Slice index 65; Brain; 240x240; Axial slice
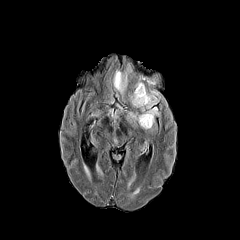
FLAIR MR image.
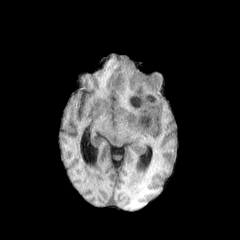
T1-weighted MR.
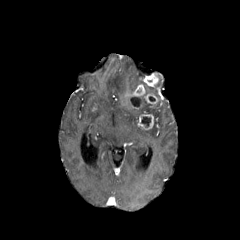
Post-contrast T1-weighted MR of the same slice.
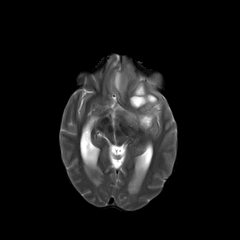
T2-weighted MRI of the same slice.
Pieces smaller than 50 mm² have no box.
The 4 largest enhancing tumor regions are located at x1=143, y1=74, x2=158, y2=86; x1=138, y1=113, x2=153, y2=129; x1=130, y1=84, x2=145, y2=97; x1=144, y1=94, x2=157, y2=104. The 2 largest necrotic tumor core regions are bounded by x1=130, y1=96, x2=144, y2=107; x1=141, y1=117, x2=151, y2=127. The 3 largest peritumoral edema regions are located at x1=113, y1=65, x2=131, y2=95; x1=141, y1=100, x2=159, y2=116; x1=126, y1=111, x2=139, y2=124.